FLAIR MRI.
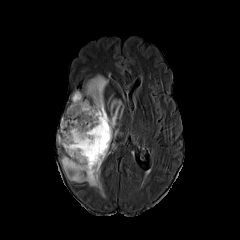
T1-weighted magnetic resonance.
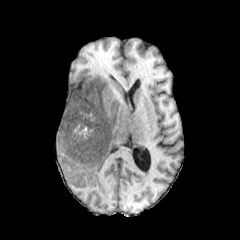
Post-contrast T1-weighted MR image.
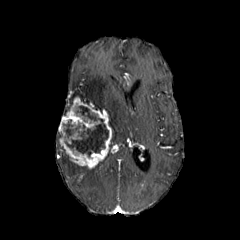
T2-weighted MRI.
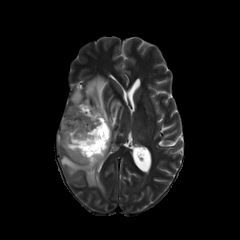
Brain.
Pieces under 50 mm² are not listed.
The largest enhancing tumor region is located at 58,96,112,168. The necrotic tumor core is at 63,106,108,156. The 4 largest peritumoral edema regions are located at 71,90,82,103; 60,155,104,196; 109,100,121,138; 85,75,108,112.